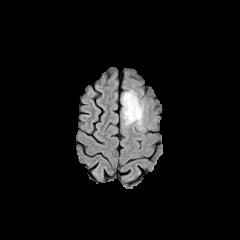
FLAIR MR.
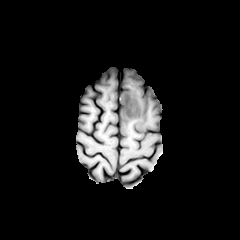
T1-weighted MR image.
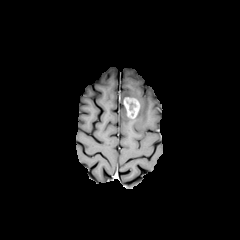
Post-contrast T1-weighted MRI of the same slice.
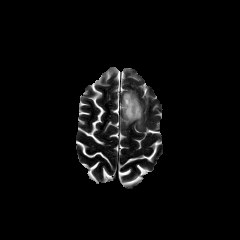
T2-weighted magnetic resonance.
Axial plane.
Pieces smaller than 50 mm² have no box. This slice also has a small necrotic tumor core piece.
The peritumoral edema is at rect(121, 89, 143, 129). The enhancing tumor lies within rect(123, 97, 139, 118).